Axial slice
FLAIR MRI.
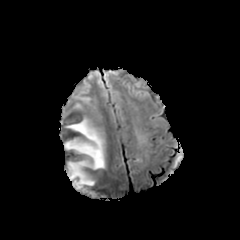
T1-weighted magnetic resonance.
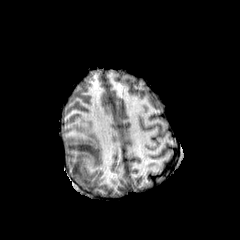
Post-contrast T1-weighted MRI.
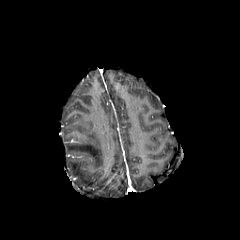
T2-weighted MRI.
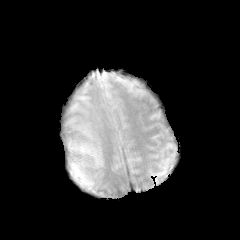
peritumoral edema at rect(64, 118, 105, 187)